Brain; Axial slice; Slice 101/155
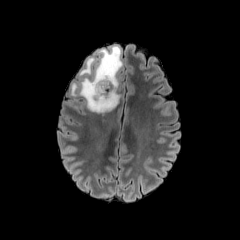
FLAIR magnetic resonance.
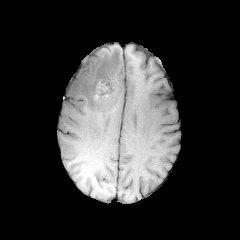
Same slice, T1-weighted MRI.
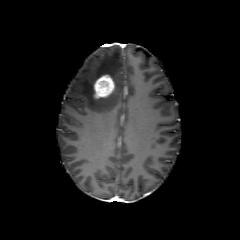
Post-contrast T1-weighted MR image.
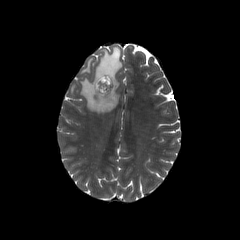
Same slice, T2-weighted MR image.
necrotic_tumor_core:
  - left=99, top=80, right=109, bottom=90
enhancing_tumor:
  - left=93, top=74, right=115, bottom=98
peritumoral_edema:
  - left=70, top=45, right=122, bottom=113